Head | Axial view | Slice index 58
FLAIR magnetic resonance.
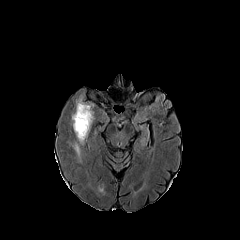
T1-weighted magnetic resonance.
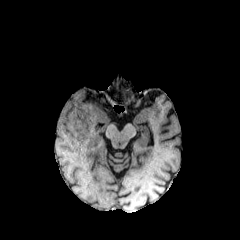
Post-contrast T1-weighted magnetic resonance.
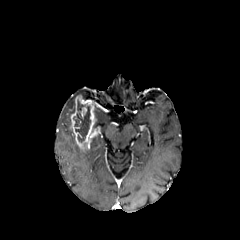
T2-weighted MR.
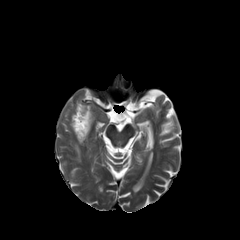
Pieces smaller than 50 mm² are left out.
Segmented structures:
- enhancing tumor: region(70, 95, 95, 149)
- peritumoral edema: region(74, 143, 80, 161)
- necrotic tumor core: region(77, 100, 84, 110); region(73, 106, 90, 142)